Slice 74/155 | Head | Axial view
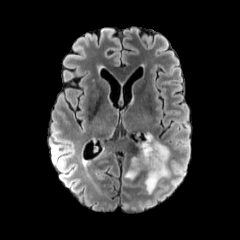
FLAIR magnetic resonance.
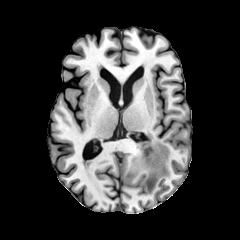
T1-weighted MR image.
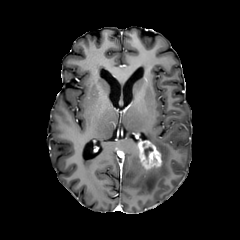
Post-contrast T1-weighted MR image of the same slice.
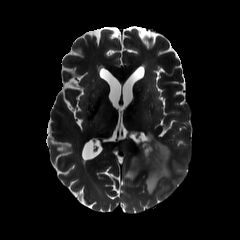
T2-weighted magnetic resonance.
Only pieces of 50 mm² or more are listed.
enhancing tumor — bbox=[137, 140, 161, 170]
peritumoral edema — bbox=[144, 133, 169, 194]; bbox=[125, 157, 144, 179]
necrotic tumor core — bbox=[144, 147, 152, 156]